Axial plane; Image size 240x240; Slice 89 of 155; Brain
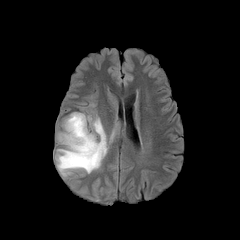
FLAIR MRI.
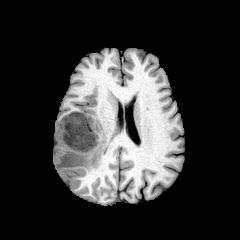
T1-weighted magnetic resonance of the same slice.
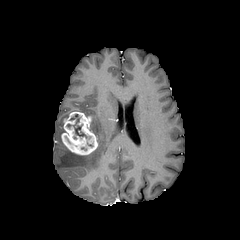
Post-contrast T1-weighted MR.
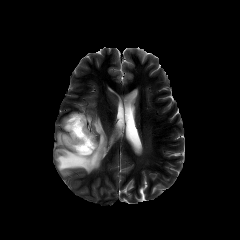
Same slice, T2-weighted MRI.
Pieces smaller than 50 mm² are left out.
The largest peritumoral edema region is bounded by bbox=[55, 117, 107, 175]. The largest enhancing tumor region lies within bbox=[61, 112, 98, 155]. The largest necrotic tumor core region is bounded by bbox=[74, 114, 86, 137].